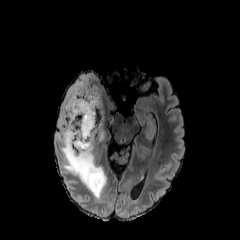
FLAIR MR.
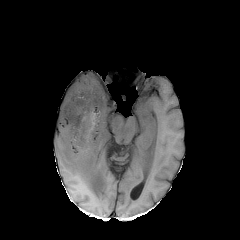
T1-weighted MR.
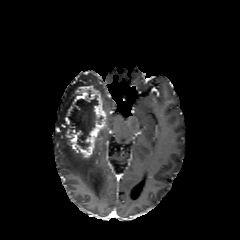
Post-contrast T1-weighted MR.
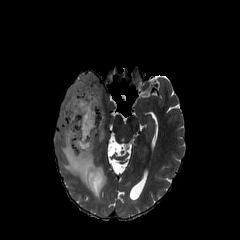
T2-weighted MR of the same slice.
240x240
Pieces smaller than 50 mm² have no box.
{
  "necrotic_tumor_core": [
    "rect(69, 98, 102, 148)"
  ],
  "peritumoral_edema": [
    "rect(57, 74, 106, 198)",
    "rect(95, 127, 106, 148)"
  ],
  "enhancing_tumor": [
    "rect(66, 86, 106, 157)"
  ]
}